Axial plane | Head
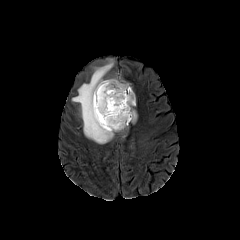
FLAIR MR image.
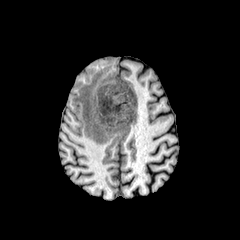
Same slice, T1-weighted MR.
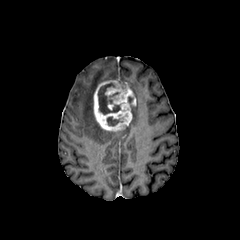
Same slice, post-contrast T1-weighted magnetic resonance.
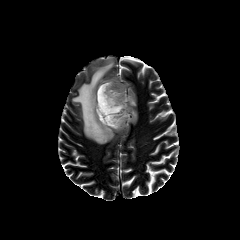
Same slice, T2-weighted MR image.
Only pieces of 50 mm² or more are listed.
necrotic tumor core: box=[107, 117, 119, 125]; box=[98, 83, 120, 114]
peritumoral edema: box=[131, 106, 137, 122]; box=[72, 59, 114, 144]
enhancing tumor: box=[93, 79, 135, 131]